FLAIR MR.
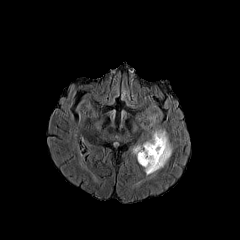
T1-weighted MR image.
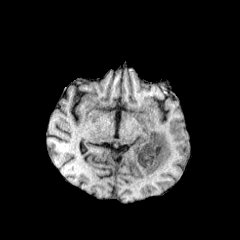
Post-contrast T1-weighted magnetic resonance.
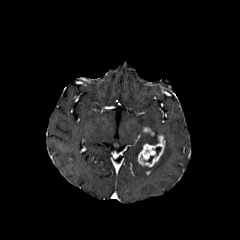
T2-weighted magnetic resonance.
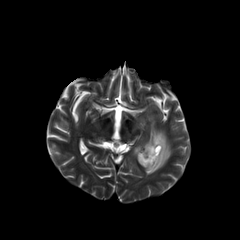
Brain
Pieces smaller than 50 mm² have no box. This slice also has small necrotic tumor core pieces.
The 2 largest peritumoral edema regions appear at box=[144, 128, 173, 173]; box=[132, 145, 142, 156]. The largest enhancing tumor region is at box=[138, 135, 165, 167].